Slice 87 of 155
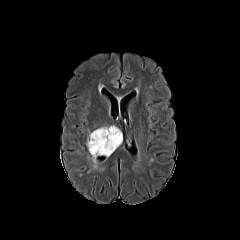
FLAIR MR image.
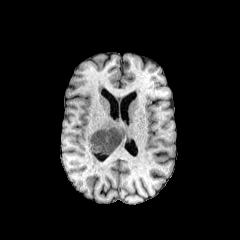
T1-weighted MRI of the same slice.
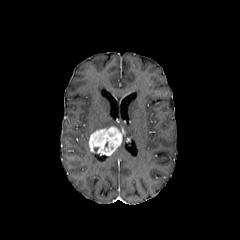
Same slice, post-contrast T1-weighted MR.
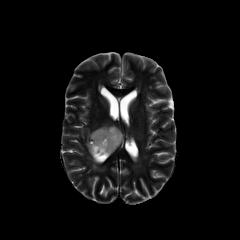
Same slice, T2-weighted MR.
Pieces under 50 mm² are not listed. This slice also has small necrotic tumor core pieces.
{
  "enhancing_tumor": [
    "<bbox>89, 126, 122, 155</bbox>"
  ],
  "peritumoral_edema": [
    "<bbox>86, 130, 99, 169</bbox>"
  ]
}